Image width 240 mm, Head, Slice 54/155
FLAIR MR.
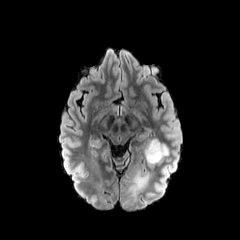
T1-weighted MR.
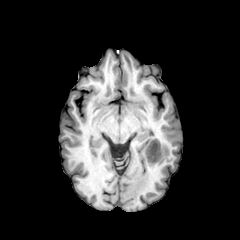
Post-contrast T1-weighted magnetic resonance.
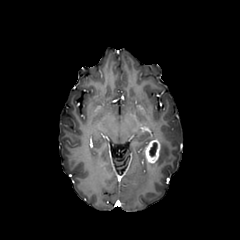
T2-weighted MR image.
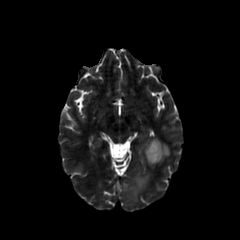
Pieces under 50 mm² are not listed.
{"peritumoral_edema": ["(148, 142, 169, 165)", "(128, 172, 149, 200)"], "enhancing_tumor": ["(144, 139, 160, 163)"], "necrotic_tumor_core": ["(149, 142, 157, 156)"]}